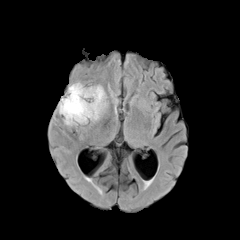
FLAIR MRI.
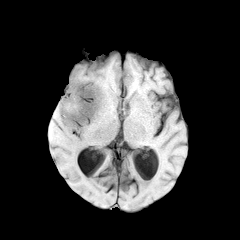
T1-weighted magnetic resonance.
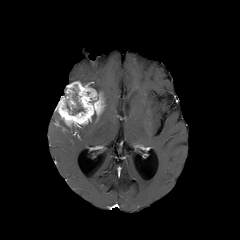
Post-contrast T1-weighted magnetic resonance.
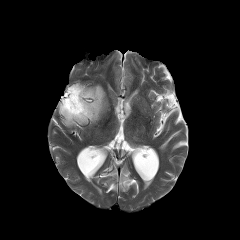
T2-weighted MR image.
Brain | Axial view
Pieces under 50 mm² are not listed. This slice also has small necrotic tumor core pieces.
enhancing tumor at {"x1": 57, "y1": 81, "x2": 105, "y2": 126}
peritumoral edema at {"x1": 92, "y1": 85, "x2": 106, "y2": 107}